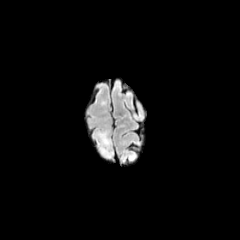
FLAIR MRI.
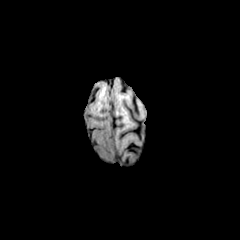
Same slice, T1-weighted MR image.
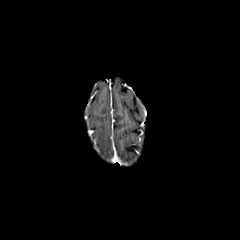
Post-contrast T1-weighted MRI.
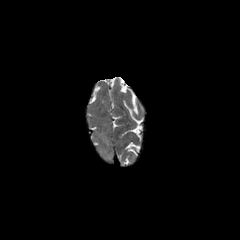
T2-weighted magnetic resonance of the same slice.
Head
Findings:
* peritumoral edema: rect(95, 129, 111, 157)